FLAIR MR image.
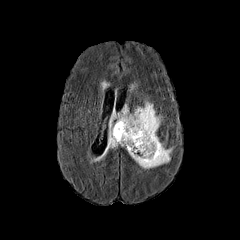
T1-weighted MR image.
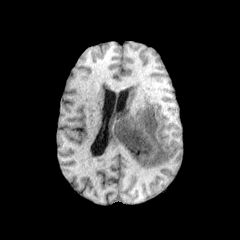
Post-contrast T1-weighted MR.
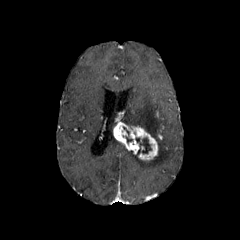
T2-weighted MRI.
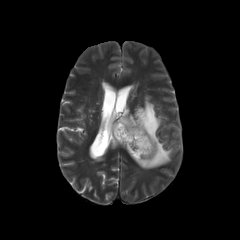
Brain | Axial view
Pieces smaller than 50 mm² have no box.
<segmentation>
  <peritumoral_edema>119, 101, 172, 168; 105, 113, 124, 152</peritumoral_edema>
  <enhancing_tumor>113, 119, 158, 161</enhancing_tumor>
  <necrotic_tumor_core>136, 138, 151, 153</necrotic_tumor_core>
</segmentation>